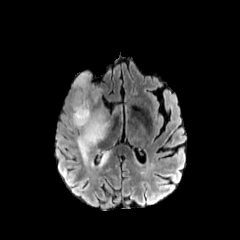
FLAIR MR.
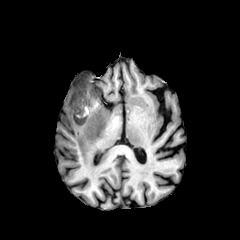
T1-weighted MRI.
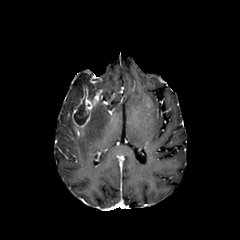
Post-contrast T1-weighted MR image of the same slice.
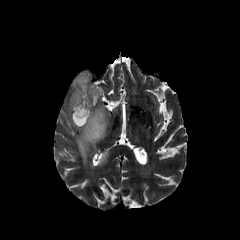
T2-weighted magnetic resonance of the same slice.
240x240 px.
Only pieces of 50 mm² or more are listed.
The 3 largest peritumoral edema regions are located at [x1=68, y1=106, x2=109, y2=162], [x1=65, y1=71, x2=101, y2=113], [x1=97, y1=151, x2=109, y2=166]. The largest necrotic tumor core region lies within [x1=74, y1=99, x2=88, y2=125]. The enhancing tumor is bounded by [x1=67, y1=85, x2=102, y2=130].